Axial slice. Brain. Image width 240 mm, 1.00 mm slice spacing. Slice index 71.
FLAIR MR.
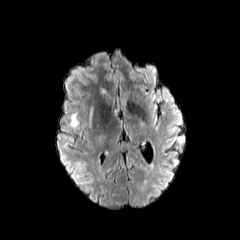
T1-weighted MR image.
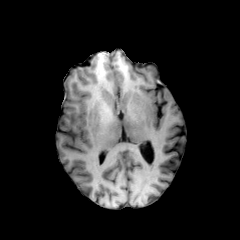
Post-contrast T1-weighted MRI.
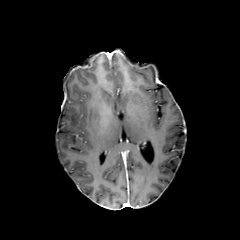
T2-weighted magnetic resonance.
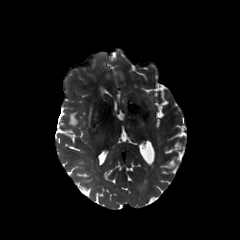
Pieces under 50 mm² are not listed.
peritumoral_edema:
  - (71, 113, 78, 127)
  - (89, 107, 93, 127)